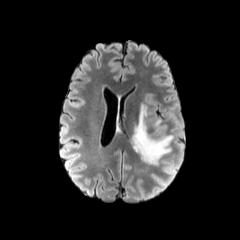
FLAIR MR.
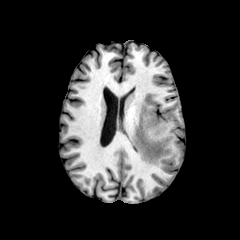
Same slice, T1-weighted magnetic resonance.
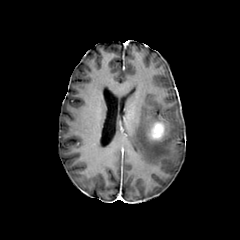
Post-contrast T1-weighted MR image.
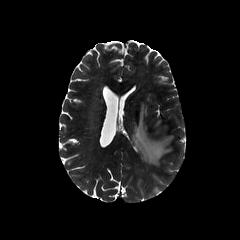
Same slice, T2-weighted MR image.
Head, 240x240 px
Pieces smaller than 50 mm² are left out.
peritumoral_edema:
  - bbox(132, 103, 173, 165)
enhancing_tumor:
  - bbox(148, 119, 165, 141)